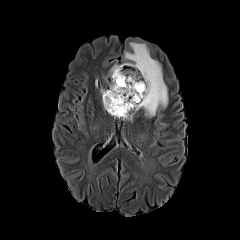
FLAIR MRI.
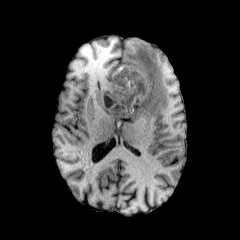
T1-weighted MRI.
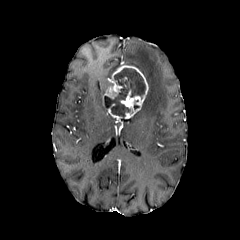
Same slice, post-contrast T1-weighted magnetic resonance.
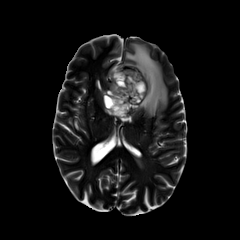
T2-weighted magnetic resonance.
Head; Axial view
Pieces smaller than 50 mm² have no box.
peritumoral edema — <box>110,65,120,77</box>, <box>124,42,167,117</box>
necrotic tumor core — <box>104,68,145,116</box>
enhancing tumor — <box>102,64,148,119</box>